Axial plane. Image width 240 mm, 1.00 mm slice spacing. Head.
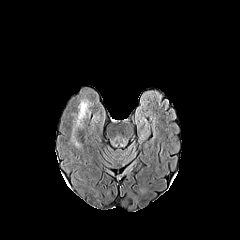
FLAIR MR.
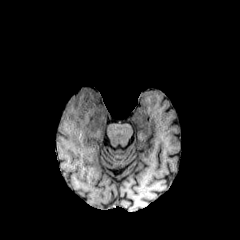
T1-weighted magnetic resonance.
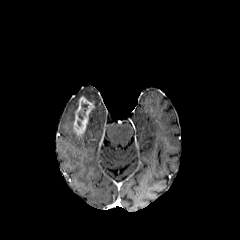
Post-contrast T1-weighted MR of the same slice.
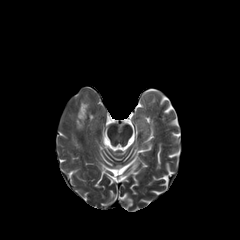
T2-weighted MRI.
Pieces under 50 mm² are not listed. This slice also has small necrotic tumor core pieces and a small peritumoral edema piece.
enhancing tumor: bounding box [74,97,94,134]